FLAIR MR image.
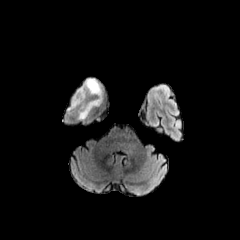
T1-weighted MR.
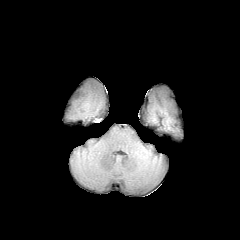
Post-contrast T1-weighted magnetic resonance.
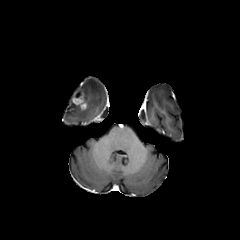
T2-weighted MR image.
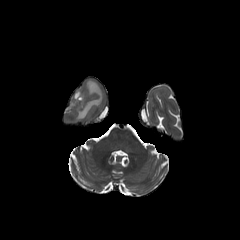
Axial plane
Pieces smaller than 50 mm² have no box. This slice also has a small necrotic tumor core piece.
Segmented structures:
- enhancing tumor: 72,89,86,110
- peritumoral edema: 66,78,103,119